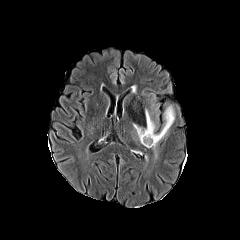
FLAIR magnetic resonance.
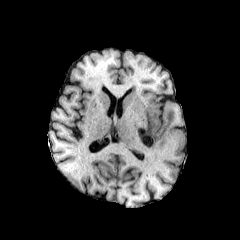
T1-weighted magnetic resonance.
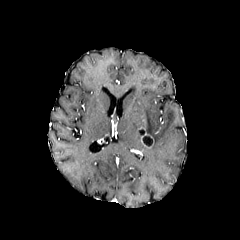
Post-contrast T1-weighted MR.
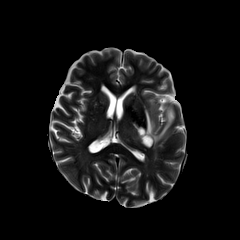
T2-weighted magnetic resonance.
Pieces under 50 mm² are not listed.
enhancing tumor: 138 128 154 148 | necrotic tumor core: 143 136 152 145 | peritumoral edema: 145 103 174 157